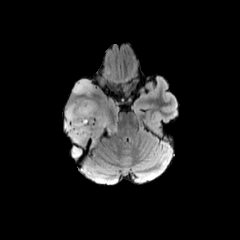
FLAIR MR.
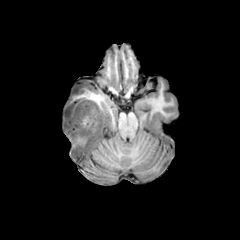
T1-weighted magnetic resonance.
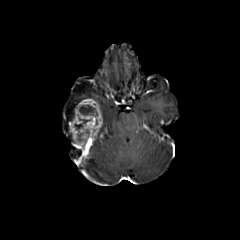
Post-contrast T1-weighted MR image.
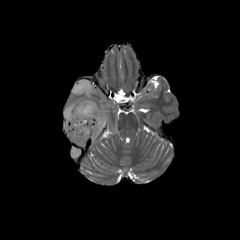
T2-weighted MR image of the same slice.
240x240 px | Head | Axial slice
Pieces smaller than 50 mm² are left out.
necrotic tumor core = 80,105,94,114
peritumoral edema = 73,80,93,95; 65,100,81,132; 72,147,81,156
enhancing tumor = 68,98,103,150